Image width 240 mm, 1.00 mm slice spacing | Image size 240x240 | Brain | Slice 57 of 155
FLAIR MR image.
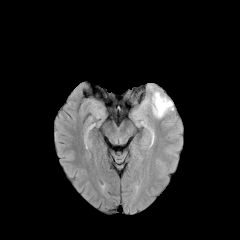
T1-weighted MR.
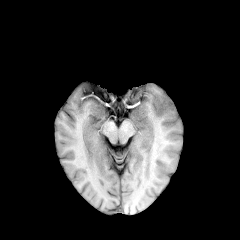
Post-contrast T1-weighted magnetic resonance.
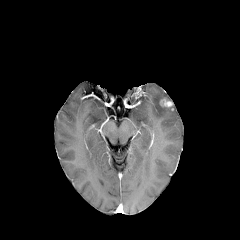
T2-weighted MR image.
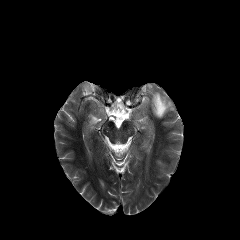
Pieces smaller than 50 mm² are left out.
peritumoral_edema:
  - l=134, t=83, r=173, b=126
enhancing_tumor:
  - l=160, t=98, r=172, b=107